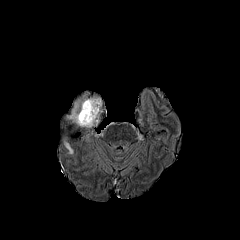
FLAIR MR.
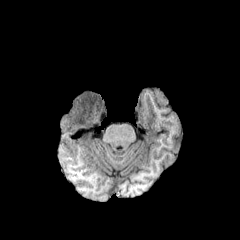
T1-weighted MRI of the same slice.
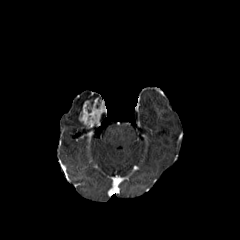
Post-contrast T1-weighted MRI.
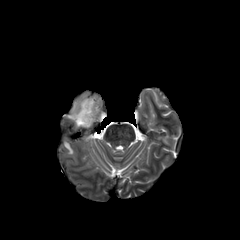
Same slice, T2-weighted MR image.
240x240. Brain.
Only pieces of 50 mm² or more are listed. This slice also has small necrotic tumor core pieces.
Annotated regions:
• peritumoral edema: bbox=[67, 94, 100, 126]; bbox=[64, 140, 73, 154]
• enhancing tumor: bbox=[78, 98, 104, 127]